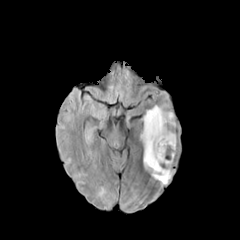
FLAIR MR image.
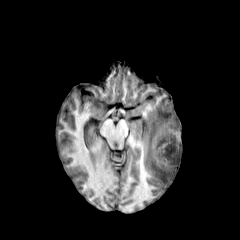
Same slice, T1-weighted MRI.
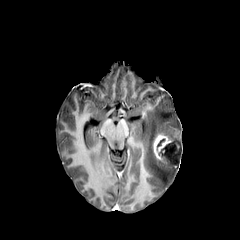
Post-contrast T1-weighted magnetic resonance.
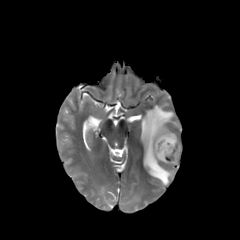
T2-weighted MR of the same slice.
Axial slice
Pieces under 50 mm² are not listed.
peritumoral edema: <box>141,105,179,185</box>
enhancing tumor: <box>153,134,173,164</box>
necrotic tumor core: <box>159,136,181,168</box>